240x240 | Slice 66/155 | Brain
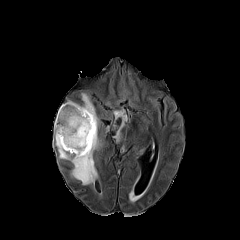
FLAIR magnetic resonance.
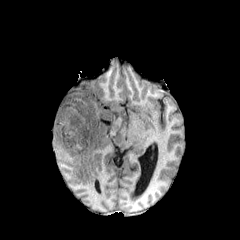
T1-weighted MR image of the same slice.
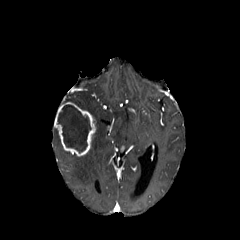
Post-contrast T1-weighted MR.
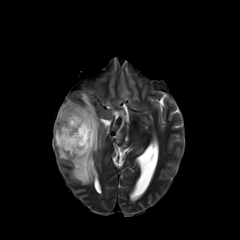
T2-weighted MRI of the same slice.
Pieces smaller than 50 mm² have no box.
The enhancing tumor is located at box(54, 102, 96, 156). The necrotic tumor core is bounded by box(57, 105, 91, 153). The 3 largest peritumoral edema regions appear at box(54, 92, 102, 185); box(113, 109, 127, 142); box(128, 189, 140, 201).